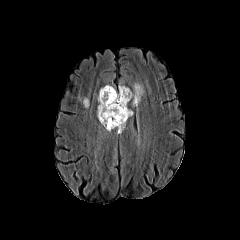
FLAIR MR image.
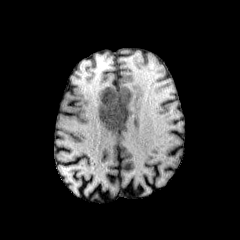
T1-weighted MR.
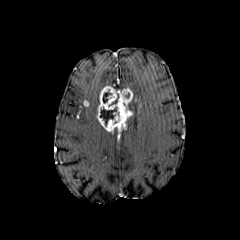
Post-contrast T1-weighted MRI.
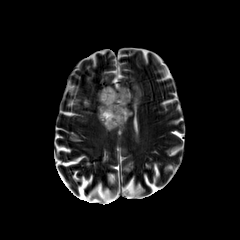
T2-weighted magnetic resonance.
Brain.
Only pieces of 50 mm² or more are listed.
necrotic_tumor_core:
  - x1=100 y1=107 x2=116 y2=125
  - x1=103 y1=92 x2=111 y2=102
enhancing_tumor:
  - x1=96 y1=86 x2=133 y2=131
peritumoral_edema:
  - x1=133 y1=83 x2=143 y2=106